FLAIR MR.
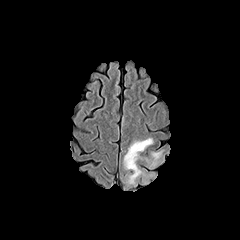
T1-weighted MR.
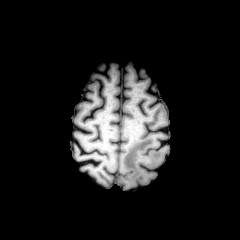
Post-contrast T1-weighted MRI.
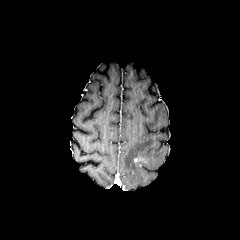
T2-weighted MRI.
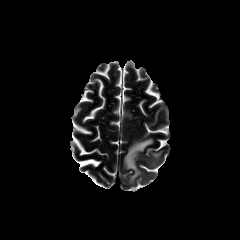
Axial view | Image size 240x240
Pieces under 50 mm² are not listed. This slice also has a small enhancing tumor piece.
Annotated regions:
- peritumoral edema: box(150, 149, 164, 166); box(123, 138, 153, 185)